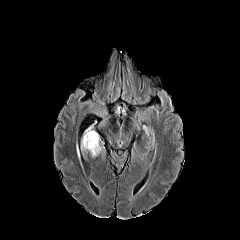
FLAIR MR image.
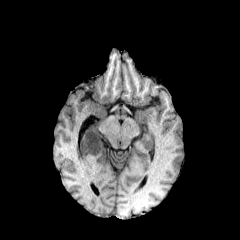
T1-weighted magnetic resonance of the same slice.
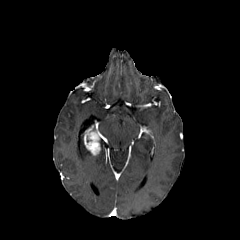
Same slice, post-contrast T1-weighted MR image.
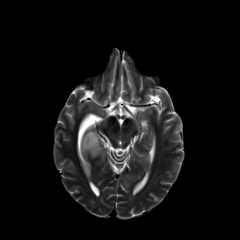
T2-weighted magnetic resonance.
Head. 240x240 px.
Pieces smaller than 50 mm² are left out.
enhancing_tumor:
  - (84, 127, 100, 155)
peritumoral_edema:
  - (81, 135, 89, 153)